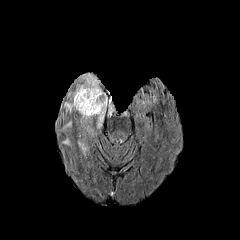
FLAIR MR image.
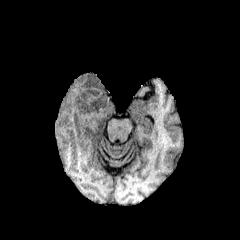
T1-weighted magnetic resonance.
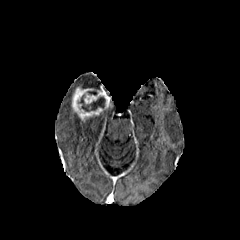
Post-contrast T1-weighted MR image.
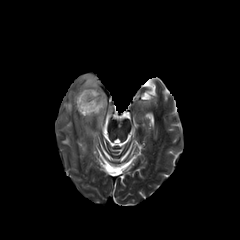
Same slice, T2-weighted MR.
Axial view. 240x240 px.
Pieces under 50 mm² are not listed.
<segmentation>
  <enhancing_tumor>(71,86,112,120)</enhancing_tumor>
  <necrotic_tumor_core>(78,94,105,111)</necrotic_tumor_core>
  <peritumoral_edema>(77,73,100,89), (93,106,113,127), (78,141,86,154), (64,92,73,112)</peritumoral_edema>
</segmentation>